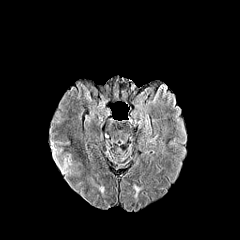
FLAIR MR.
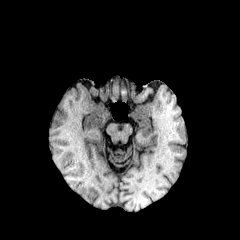
T1-weighted MR.
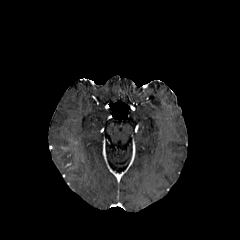
Post-contrast T1-weighted MR.
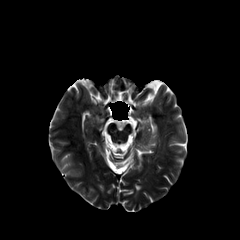
T2-weighted MR of the same slice.
Axial view; Brain
The peritumoral edema is located at l=53, t=148, r=70, b=173.